240x240. Brain.
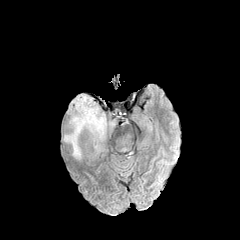
FLAIR magnetic resonance.
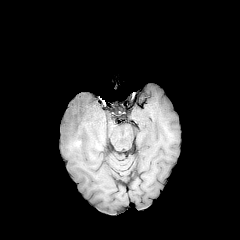
Same slice, T1-weighted MR image.
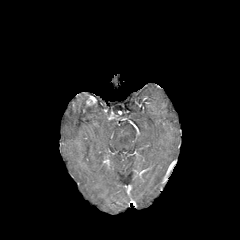
Post-contrast T1-weighted MR.
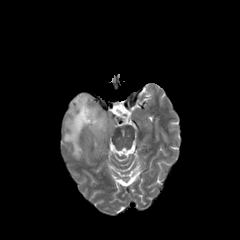
T2-weighted magnetic resonance of the same slice.
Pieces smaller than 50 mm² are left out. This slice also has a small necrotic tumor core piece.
The largest peritumoral edema region appears at {"x1": 64, "y1": 94, "x2": 105, "y2": 158}. The enhancing tumor is bounded by {"x1": 85, "y1": 96, "x2": 96, "y2": 106}.